FLAIR MRI.
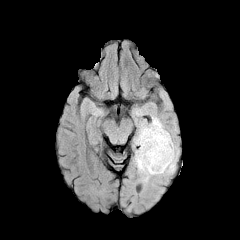
T1-weighted magnetic resonance.
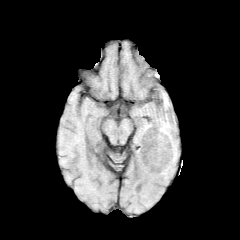
Post-contrast T1-weighted MRI.
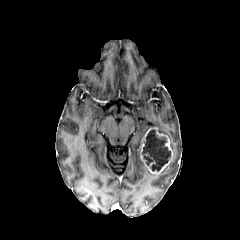
T2-weighted magnetic resonance.
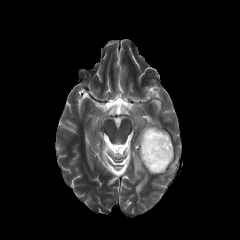
Brain. Axial plane.
necrotic tumor core at box(142, 129, 170, 171)
peritumoral edema at box(135, 116, 178, 174); box(135, 148, 155, 181)
enhancing tumor at box(140, 127, 173, 174)